FLAIR MRI.
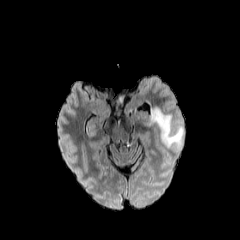
T1-weighted MRI.
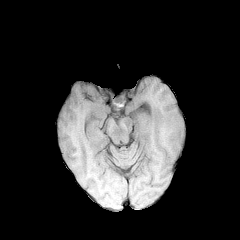
Post-contrast T1-weighted MRI.
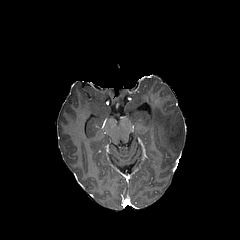
T2-weighted MRI.
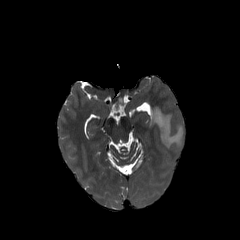
Axial plane, Image size 240x240
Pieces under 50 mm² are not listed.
peritumoral edema — region(149, 107, 183, 150)